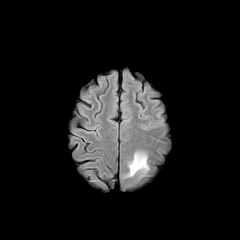
FLAIR MRI.
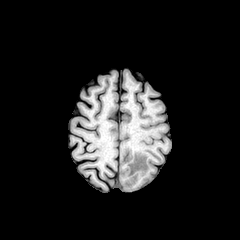
Same slice, T1-weighted MRI.
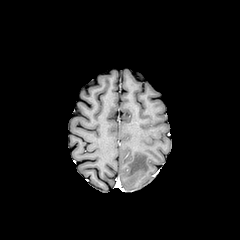
Post-contrast T1-weighted MR image.
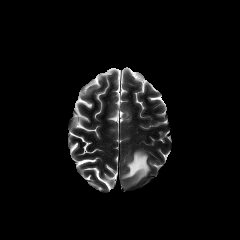
T2-weighted MR.
Image size 240x240
The peritumoral edema appears at (left=123, top=151, right=149, bottom=178).